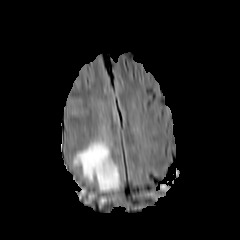
FLAIR MR image.
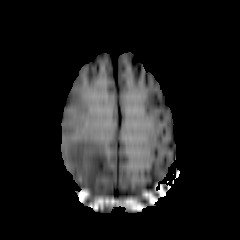
T1-weighted MRI of the same slice.
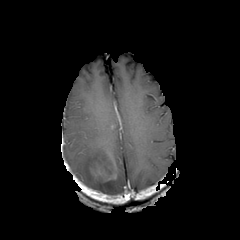
Post-contrast T1-weighted magnetic resonance.
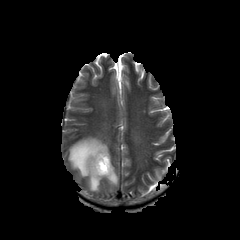
T2-weighted MR.
Brain, Axial plane
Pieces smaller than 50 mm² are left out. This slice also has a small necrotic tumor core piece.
The largest enhancing tumor region is located at (x1=96, y1=164, x2=105, y2=175). The peritumoral edema lies within (x1=72, y1=138, x2=120, y2=192).